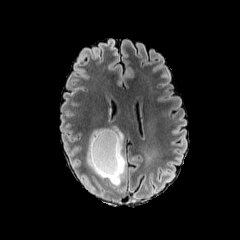
FLAIR MRI.
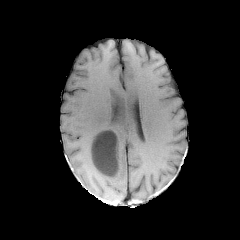
Same slice, T1-weighted MRI.
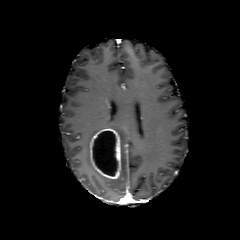
Same slice, post-contrast T1-weighted MRI.
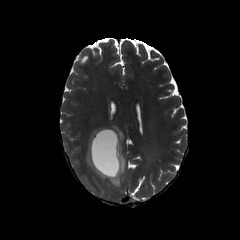
Same slice, T2-weighted MR.
Brain
necrotic tumor core: bounding box [x1=92, y1=131, x2=117, y2=175]
enhancing tumor: bounding box [x1=90, y1=128, x2=121, y2=179]
peritumoral edema: bounding box [x1=86, y1=126, x2=125, y2=186]